FLAIR MR image.
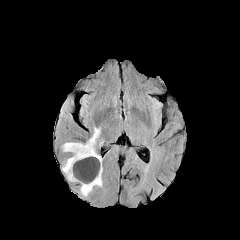
T1-weighted MR image.
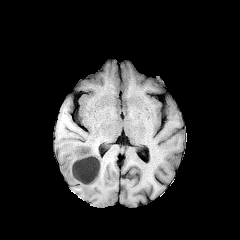
Post-contrast T1-weighted MR.
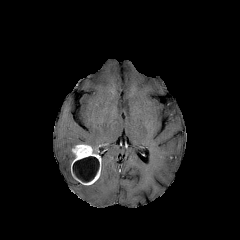
T2-weighted MR.
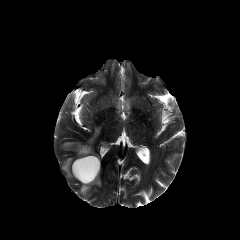
Head
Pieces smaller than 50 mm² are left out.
{
  "enhancing_tumor": [
    "left=71, top=144, right=101, bottom=185"
  ],
  "peritumoral_edema": [
    "left=62, top=142, right=82, bottom=151",
    "left=62, top=155, right=76, bottom=181",
    "left=85, top=127, right=100, bottom=153",
    "left=80, top=175, right=102, bottom=196"
  ],
  "necrotic_tumor_core": [
    "left=73, top=156, right=99, bottom=182"
  ]
}